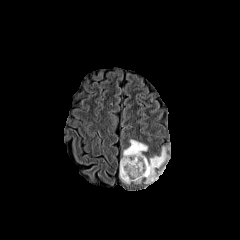
FLAIR MR.
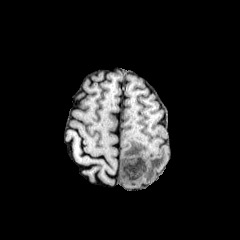
Same slice, T1-weighted MR image.
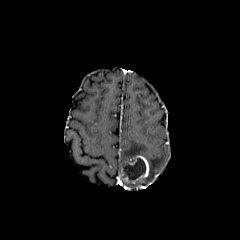
Post-contrast T1-weighted MR image.
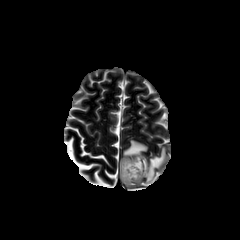
T2-weighted MRI.
Image size 240x240 | Axial slice | Head
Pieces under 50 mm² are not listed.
Findings:
• necrotic tumor core: x1=122, y1=158, x2=145, y2=180
• enhancing tumor: x1=119, y1=155, x2=149, y2=183
• peritumoral edema: x1=120, y1=139, x2=147, y2=164; x1=145, y1=147, x2=167, y2=183